FLAIR magnetic resonance.
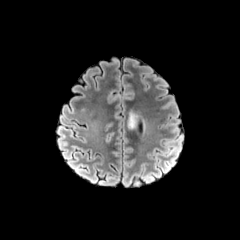
T1-weighted MR.
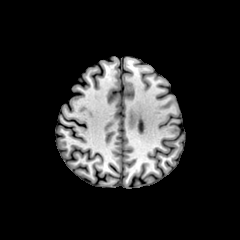
Post-contrast T1-weighted MRI.
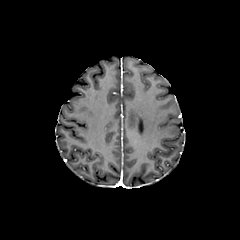
T2-weighted MR.
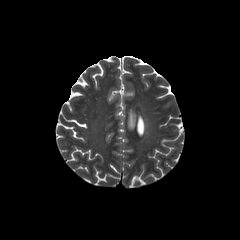
Axial view
peritumoral edema — x1=128 y1=111 x2=137 y2=128